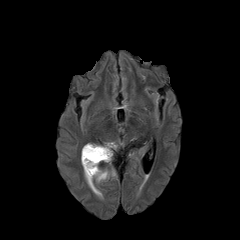
FLAIR magnetic resonance.
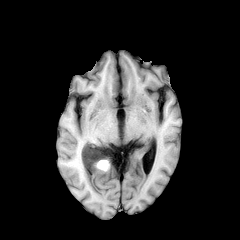
T1-weighted MRI of the same slice.
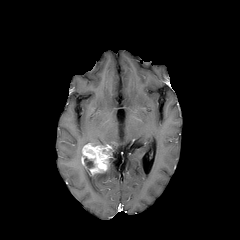
Post-contrast T1-weighted MR image.
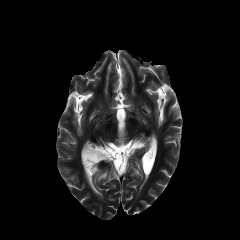
T2-weighted MRI of the same slice.
Axial plane.
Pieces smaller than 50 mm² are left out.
- enhancing tumor: 81, 143, 115, 175
- peritumoral edema: 83, 166, 117, 198
- necrotic tumor core: 84, 158, 93, 168